FLAIR MR.
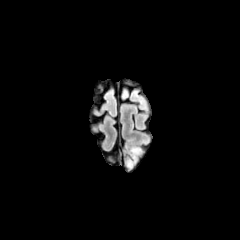
T1-weighted MR image.
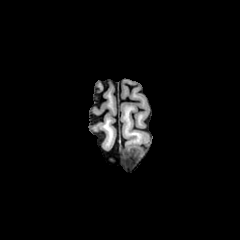
Post-contrast T1-weighted MR.
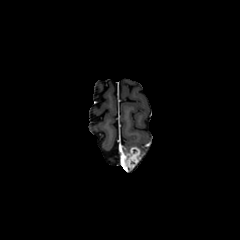
T2-weighted magnetic resonance.
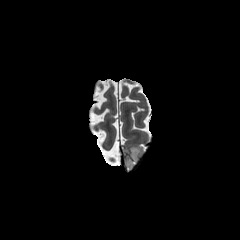
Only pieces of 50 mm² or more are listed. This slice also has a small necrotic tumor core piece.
<segmentation>
  <enhancing_tumor>x1=125, y1=146, x2=140, y2=168</enhancing_tumor>
  <peritumoral_edema>x1=125, y1=144, x2=142, y2=155</peritumoral_edema>
</segmentation>